Axial plane; Brain
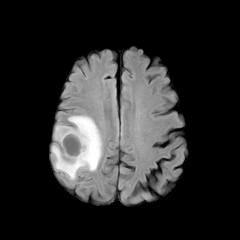
FLAIR magnetic resonance.
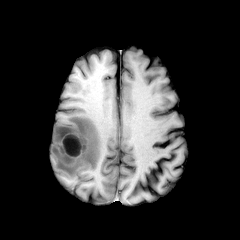
T1-weighted magnetic resonance.
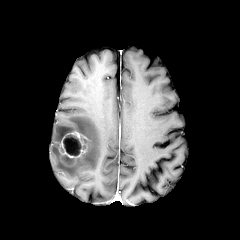
Post-contrast T1-weighted MR of the same slice.
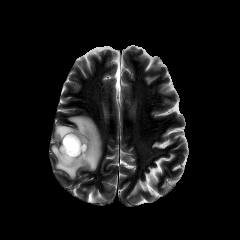
Same slice, T2-weighted MR.
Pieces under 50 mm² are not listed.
<segmentation>
  <necrotic_tumor_core>[62,155,74,164], [63,135,87,156]</necrotic_tumor_core>
  <enhancing_tumor>[59,131,89,166]</enhancing_tumor>
  <peritumoral_edema>[52,115,102,179]</peritumoral_edema>
</segmentation>